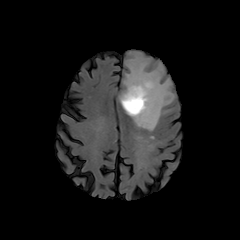
FLAIR MRI.
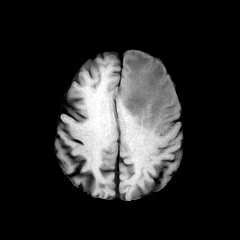
T1-weighted MR.
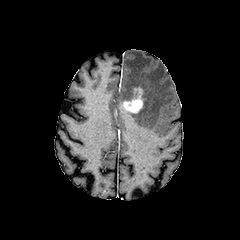
Post-contrast T1-weighted MRI of the same slice.
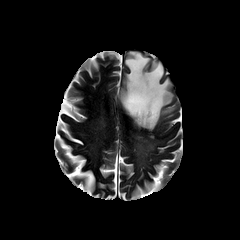
T2-weighted magnetic resonance.
240x240.
enhancing tumor = bbox=[123, 87, 143, 113]
peritumoral edema = bbox=[119, 51, 173, 130]